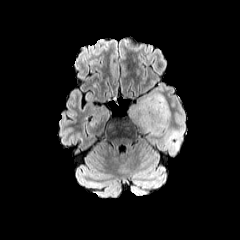
FLAIR magnetic resonance.
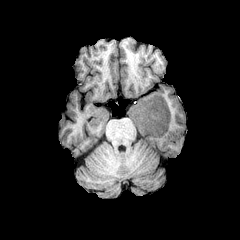
Same slice, T1-weighted MR.
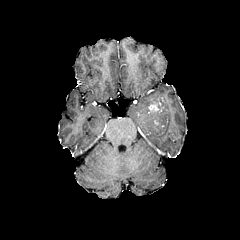
Post-contrast T1-weighted MR.
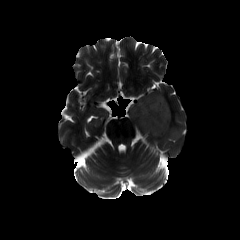
T2-weighted MR image.
Axial slice; Head
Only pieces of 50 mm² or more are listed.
enhancing tumor: (148,97,163,112)
peritumoral edema: (132,92,170,136)